FLAIR magnetic resonance.
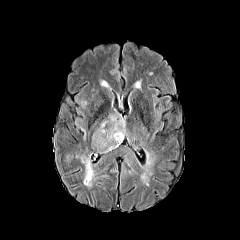
T1-weighted magnetic resonance.
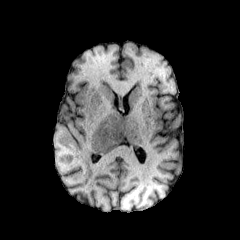
Post-contrast T1-weighted MR image.
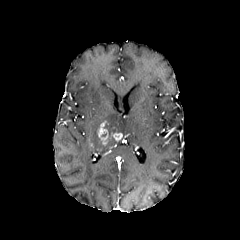
T2-weighted MRI.
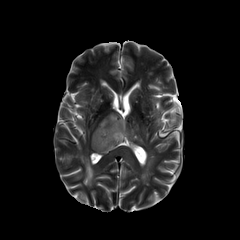
Head, Image size 240x240, Axial plane
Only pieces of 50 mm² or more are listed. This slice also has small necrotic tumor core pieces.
peritumoral edema: (80,155,94,187), (90,109,126,154) | enhancing tumor: (97,121,122,145)